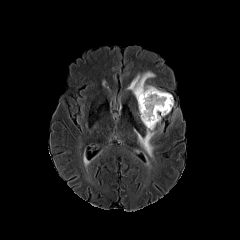
FLAIR MR.
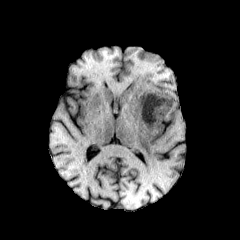
T1-weighted MR.
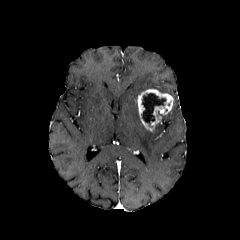
Post-contrast T1-weighted MR.
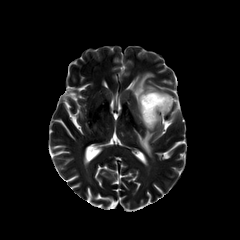
T2-weighted MR image.
Brain | Axial plane | Image size 240x240
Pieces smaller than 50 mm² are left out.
necrotic_tumor_core:
  - bbox(142, 93, 165, 123)
peritumoral_edema:
  - bbox(128, 71, 156, 98)
  - bbox(134, 130, 156, 157)
enhancing_tumor:
  - bbox(137, 89, 173, 131)